Brain | Slice 104 of 155 | 240x240
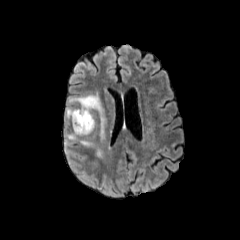
FLAIR MRI.
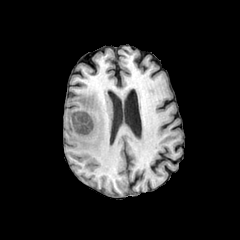
T1-weighted MR.
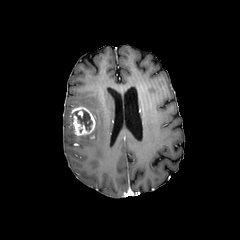
Same slice, post-contrast T1-weighted MRI.
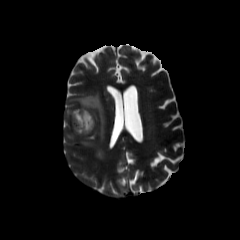
Same slice, T2-weighted MRI.
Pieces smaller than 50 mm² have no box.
peritumoral edema at [68,92,106,140], [65,107,73,120], [65,131,109,163]
enhancing tumor at [71,106,95,137]
necrotic tumor core at [74,110,92,130]